Axial slice. Image size 240x240.
FLAIR MRI.
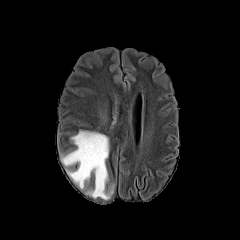
T1-weighted MR.
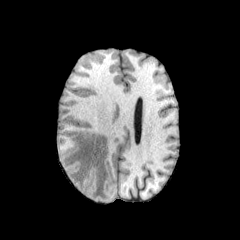
Post-contrast T1-weighted magnetic resonance.
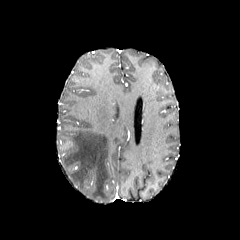
T2-weighted magnetic resonance.
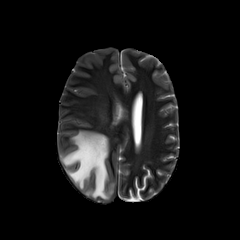
peritumoral edema: 62 130 112 199